Brain.
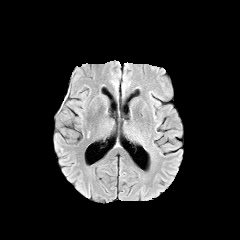
FLAIR MR.
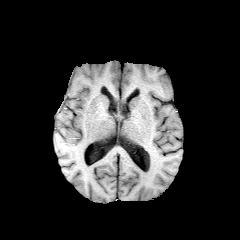
Same slice, T1-weighted magnetic resonance.
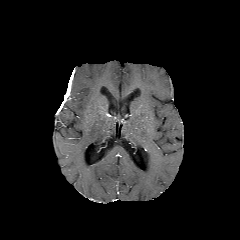
Post-contrast T1-weighted MR image.
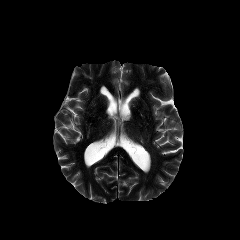
T2-weighted magnetic resonance of the same slice.
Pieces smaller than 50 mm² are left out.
The largest enhancing tumor region is located at [56,88,69,113].